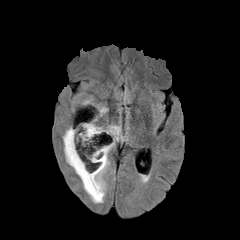
FLAIR MR image.
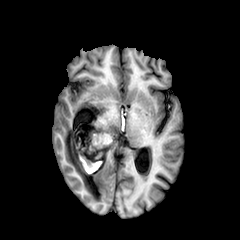
T1-weighted MR.
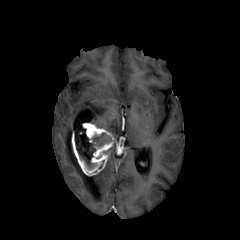
Post-contrast T1-weighted MRI of the same slice.
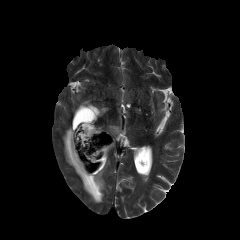
Same slice, T2-weighted magnetic resonance.
Axial view
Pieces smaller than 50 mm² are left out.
enhancing tumor at rect(71, 123, 115, 176)
peritumoral edema at rect(97, 124, 121, 141); rect(62, 127, 110, 202)
necrotic tumor core at rect(75, 128, 96, 168); rect(93, 133, 111, 146)